FLAIR MRI.
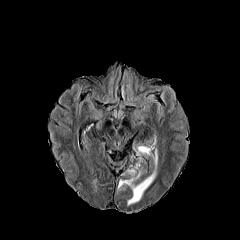
T1-weighted magnetic resonance.
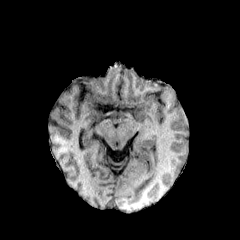
Post-contrast T1-weighted MRI.
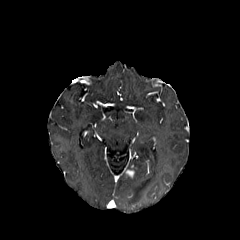
T2-weighted magnetic resonance.
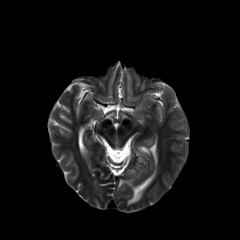
Brain | 240x240 | Axial view
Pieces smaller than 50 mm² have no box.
{
  "enhancing_tumor": [
    "(125, 165, 134, 177)"
  ],
  "peritumoral_edema": [
    "(137, 145, 150, 155)",
    "(118, 151, 157, 205)"
  ]
}